FLAIR MRI.
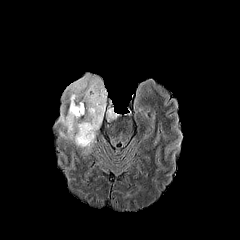
T1-weighted MR.
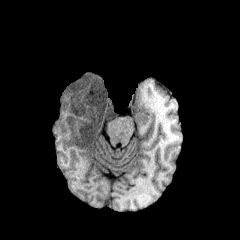
Post-contrast T1-weighted magnetic resonance.
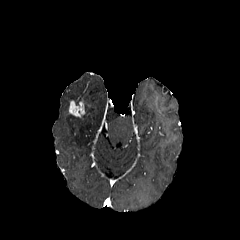
T2-weighted MR image.
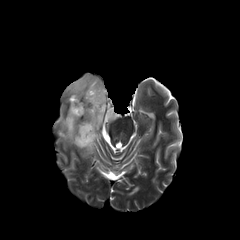
Image size 240x240
The enhancing tumor lies within [69,100,85,117]. 2 peritumoral edema regions are bounded by [107,108,118,120], [58,74,106,151].